Brain | 240x240
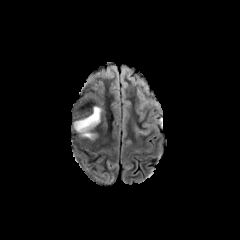
FLAIR MR image.
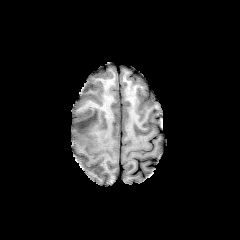
T1-weighted magnetic resonance.
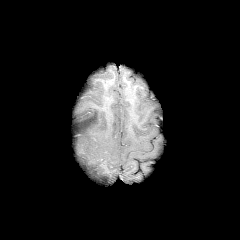
Post-contrast T1-weighted MR.
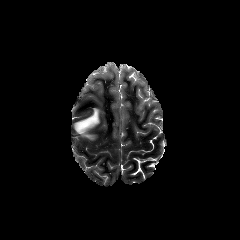
T2-weighted MR.
The enhancing tumor lies within bbox(83, 120, 100, 139). The peritumoral edema appears at bbox(73, 106, 102, 137).